Image covers 240 mm x 240 mm. Head. Slice 95 of 155.
FLAIR MRI.
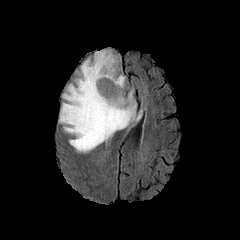
T1-weighted MR.
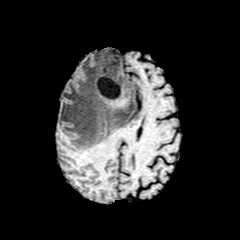
Post-contrast T1-weighted MR.
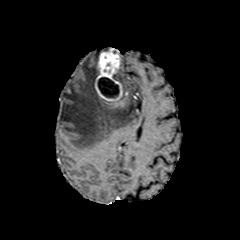
T2-weighted magnetic resonance.
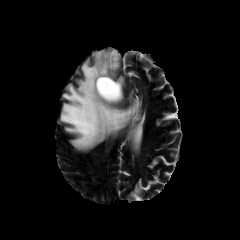
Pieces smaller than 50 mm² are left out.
Annotated regions:
• necrotic tumor core: [x1=97, y1=77, x2=119, y2=98]
• enhancing tumor: [x1=95, y1=48, x2=122, y2=101]
• peritumoral edema: [x1=114, y1=74, x2=125, y2=89], [x1=59, y1=49, x2=141, y2=152]